FLAIR MR.
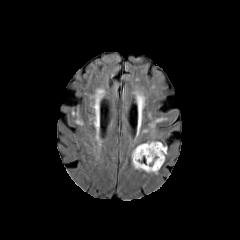
T1-weighted MRI.
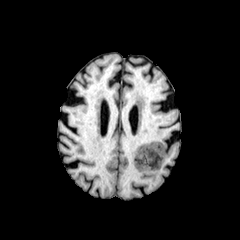
Post-contrast T1-weighted MR image.
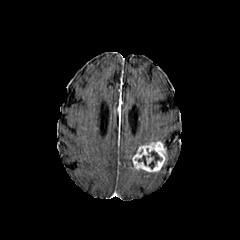
T2-weighted MR image.
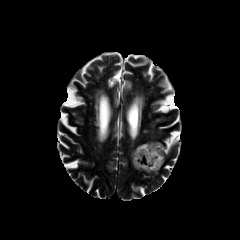
Axial slice, Head, 240x240
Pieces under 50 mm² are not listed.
<segmentation>
  <necrotic_tumor_core>left=150, top=151, right=161, bottom=162</necrotic_tumor_core>
  <peritumoral_edema>left=131, top=137, right=156, bottom=158</peritumoral_edema>
  <enhancing_tumor>left=132, top=141, right=167, bottom=172</enhancing_tumor>
</segmentation>